FLAIR MR.
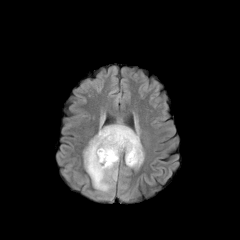
T1-weighted MR.
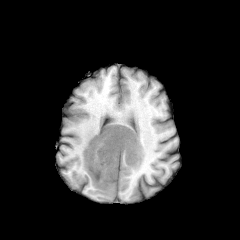
Post-contrast T1-weighted MR.
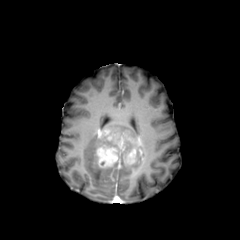
T2-weighted MR.
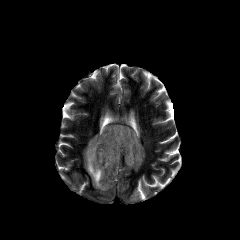
Image size 240x240
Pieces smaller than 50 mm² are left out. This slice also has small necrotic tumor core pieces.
The 2 largest enhancing tumor regions are bounded by box(126, 147, 136, 164); box(96, 128, 140, 167). 2 peritumoral edema regions appear at box(83, 134, 144, 192); box(100, 121, 139, 140).